240x240 px
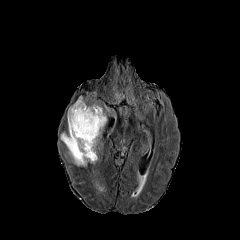
FLAIR magnetic resonance.
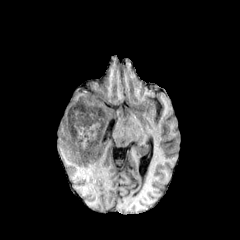
T1-weighted MR image of the same slice.
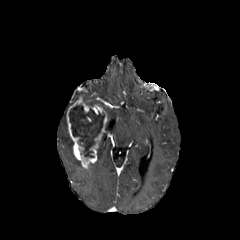
Post-contrast T1-weighted MRI of the same slice.
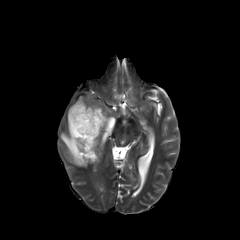
T2-weighted MRI.
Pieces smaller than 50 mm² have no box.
enhancing_tumor:
  - region(67, 96, 108, 167)
necrotic_tumor_core:
  - region(69, 104, 105, 157)
peritumoral_edema:
  - region(60, 132, 81, 166)